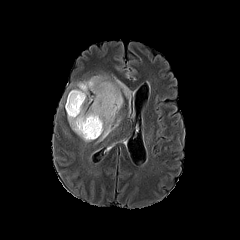
FLAIR MRI.
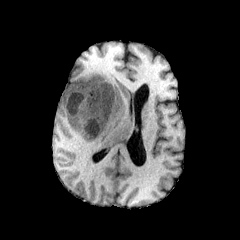
T1-weighted magnetic resonance.
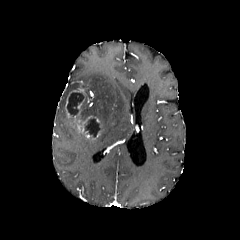
Post-contrast T1-weighted MR of the same slice.
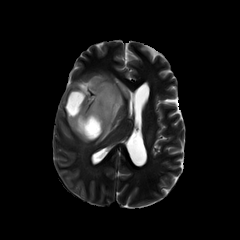
T2-weighted MR.
Head | Axial slice
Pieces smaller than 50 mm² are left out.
Segmented structures:
- necrotic tumor core: (left=67, top=92, right=84, bottom=115), (left=85, top=118, right=99, bottom=137)
- peritumoral edema: (left=70, top=125, right=90, bottom=142), (left=82, top=75, right=131, bottom=142)
- enhancing tumor: (left=65, top=82, right=102, bottom=140)